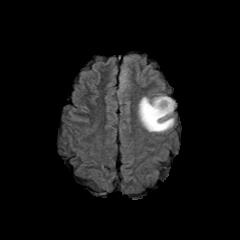
FLAIR MR image.
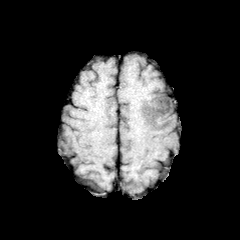
T1-weighted magnetic resonance.
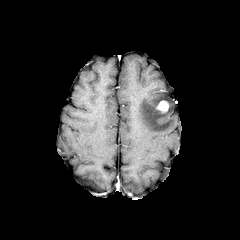
Post-contrast T1-weighted MR image.
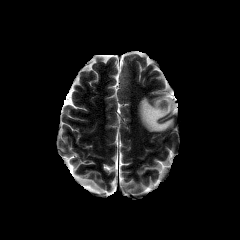
T2-weighted MRI.
Brain, Axial plane
Findings:
* enhancing tumor: l=156, t=100, r=168, b=112
* peritumoral edema: l=138, t=95, r=175, b=132